FLAIR magnetic resonance.
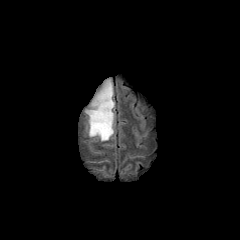
T1-weighted MR.
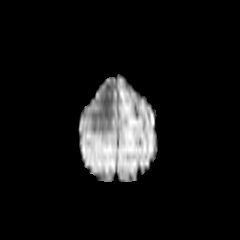
Post-contrast T1-weighted MR.
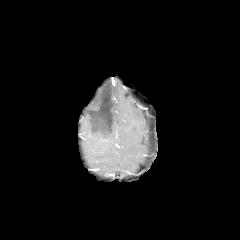
T2-weighted MRI.
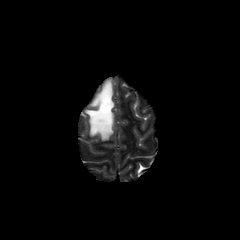
Brain.
peritumoral edema: rect(85, 79, 114, 141)